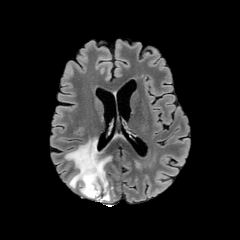
FLAIR MR.
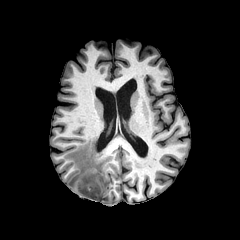
T1-weighted MR image.
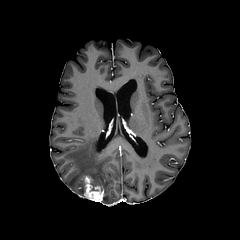
Post-contrast T1-weighted MR image.
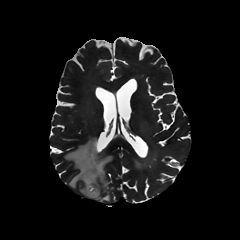
T2-weighted MRI.
240x240 px.
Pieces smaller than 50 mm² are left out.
enhancing tumor = l=82, t=175, r=104, b=201
peritumoral edema = l=65, t=138, r=112, b=200